FLAIR magnetic resonance.
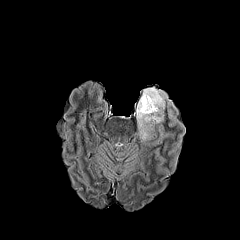
T1-weighted magnetic resonance.
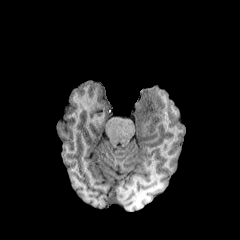
Post-contrast T1-weighted MRI.
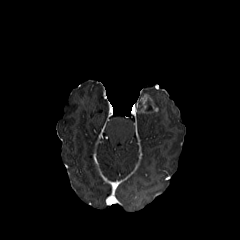
T2-weighted MRI.
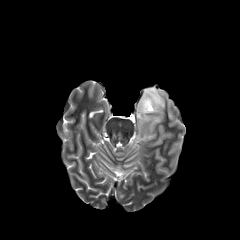
Axial plane | 240x240 | Head
The necrotic tumor core appears at (145, 99, 152, 111). The enhancing tumor is at (137, 94, 158, 113). The peritumoral edema is at (136, 87, 167, 139).